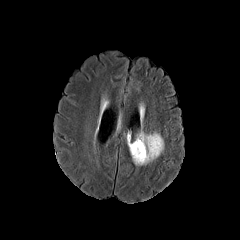
FLAIR MR image.
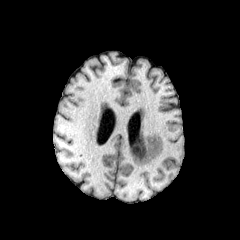
Same slice, T1-weighted magnetic resonance.
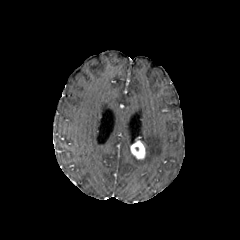
Post-contrast T1-weighted magnetic resonance.
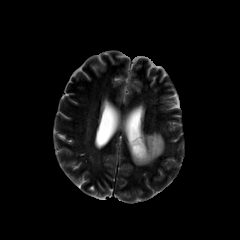
Same slice, T2-weighted MR.
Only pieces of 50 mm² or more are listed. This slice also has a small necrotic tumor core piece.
peritumoral edema — 131, 131, 164, 165
enhancing tumor — 130, 140, 145, 159